FLAIR MRI.
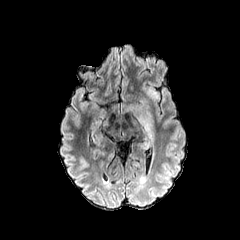
T1-weighted MR.
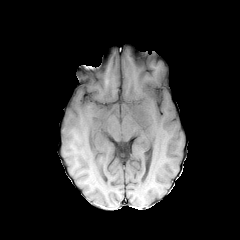
Post-contrast T1-weighted MR.
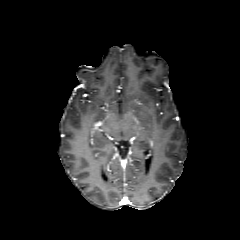
T2-weighted magnetic resonance.
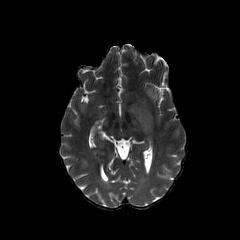
Brain
Annotated regions:
• peritumoral edema: region(133, 105, 154, 128); region(146, 87, 158, 100)